Head, Image width 240 mm
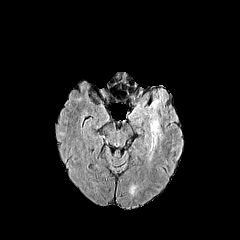
FLAIR magnetic resonance.
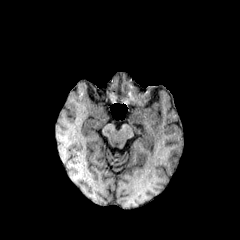
Same slice, T1-weighted magnetic resonance.
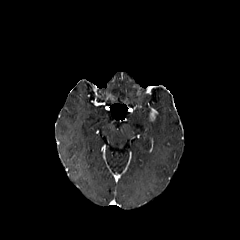
Post-contrast T1-weighted MR.
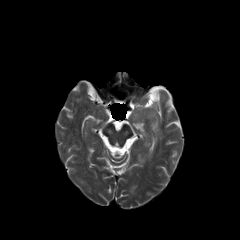
T2-weighted MR of the same slice.
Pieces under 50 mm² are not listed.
enhancing tumor at box=[149, 108, 157, 121]
peritumoral edema at box=[150, 116, 160, 145]